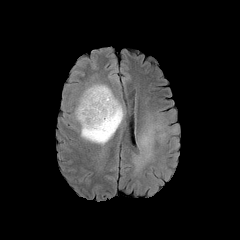
FLAIR MR image.
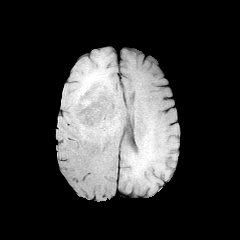
Same slice, T1-weighted MR.
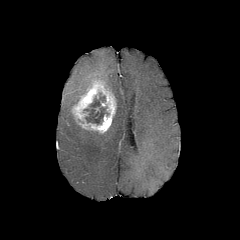
Same slice, post-contrast T1-weighted magnetic resonance.
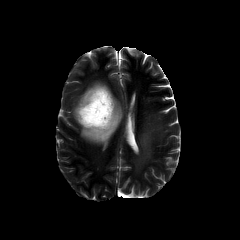
T2-weighted magnetic resonance.
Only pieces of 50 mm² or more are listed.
peritumoral edema: x1=72 y1=89 x2=86 y2=120, x1=78 y1=84 x2=124 y2=144, x1=134 y1=104 x2=178 y2=170 | necrotic tumor core: x1=84 y1=92 x2=108 y2=124 | enhancing tumor: x1=73 y1=81 x2=116 y2=133